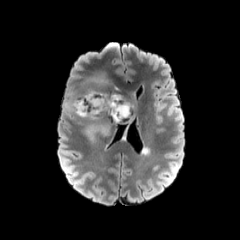
FLAIR MRI.
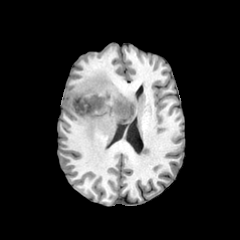
Same slice, T1-weighted magnetic resonance.
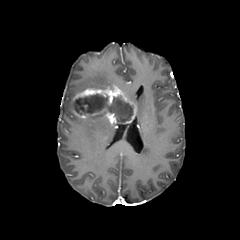
Same slice, post-contrast T1-weighted MR.
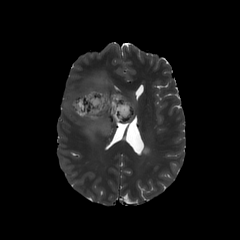
T2-weighted MR image of the same slice.
240x240, Brain
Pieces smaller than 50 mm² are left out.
- peritumoral edema: <bbox>92, 72, 114, 88</bbox>, <bbox>83, 123, 110, 139</bbox>
- enhancing tumor: <bbox>71, 86, 136, 124</bbox>
- necrotic tumor core: <bbox>73, 94, 132, 122</bbox>